FLAIR MR.
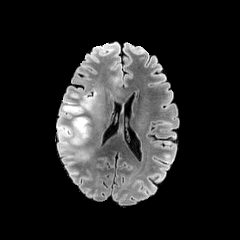
T1-weighted magnetic resonance.
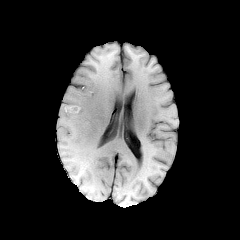
Post-contrast T1-weighted magnetic resonance.
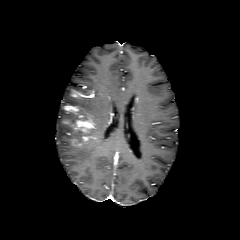
T2-weighted MR.
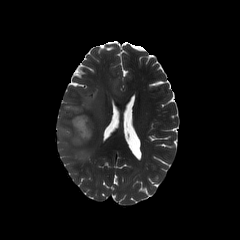
Brain; Image size 240x240
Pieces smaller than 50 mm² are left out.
The 2 largest peritumoral edema regions appear at bbox(77, 96, 94, 114); bbox(58, 106, 85, 152). The 3 largest enhancing tumor regions appear at bbox(64, 105, 79, 113); bbox(71, 92, 91, 97); bbox(74, 114, 94, 141).